FLAIR MRI.
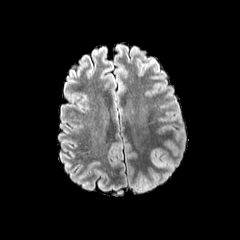
T1-weighted MR.
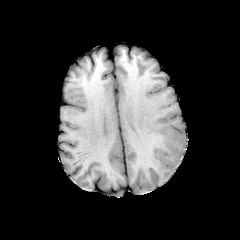
Post-contrast T1-weighted MR image.
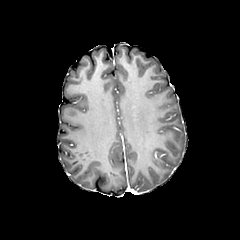
T2-weighted MR.
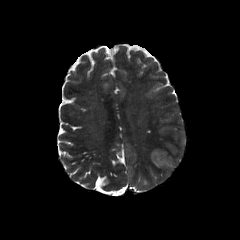
240x240. Brain.
peritumoral edema: (151,149,175,168)